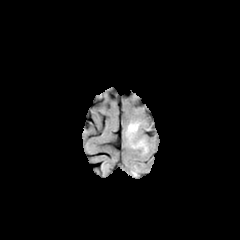
FLAIR MR image.
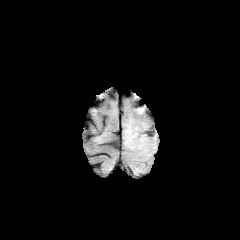
T1-weighted MR image.
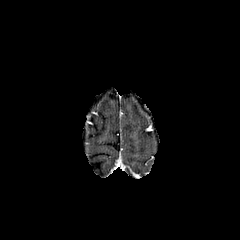
Same slice, post-contrast T1-weighted MRI.
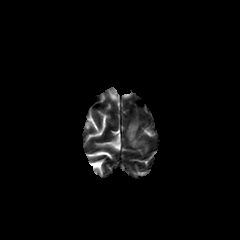
T2-weighted MRI of the same slice.
Axial plane; 240x240
Segmented structures:
• peritumoral edema: (125,120,148,153)